FLAIR MR.
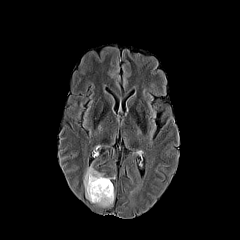
T1-weighted magnetic resonance.
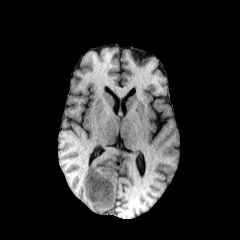
Post-contrast T1-weighted magnetic resonance.
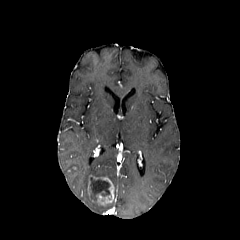
T2-weighted MRI.
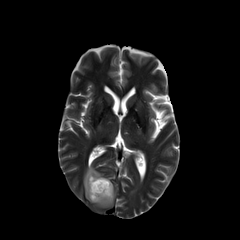
Head.
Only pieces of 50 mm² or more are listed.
necrotic tumor core: 90 177 110 200 | peritumoral edema: 83 166 103 202 | enhancing tumor: 87 175 114 206